Slice index 37; Head; Image width 240 mm, 1.00 mm slice spacing
FLAIR magnetic resonance.
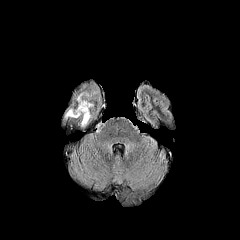
T1-weighted MR image.
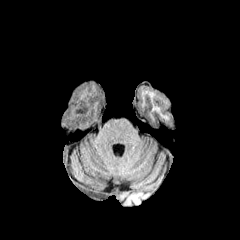
Post-contrast T1-weighted MR.
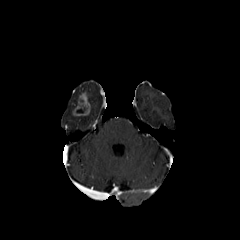
T2-weighted magnetic resonance.
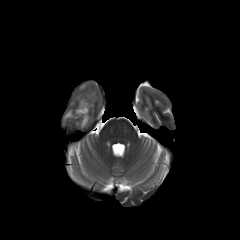
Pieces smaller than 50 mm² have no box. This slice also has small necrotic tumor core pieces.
{"enhancing_tumor": ["x1=73, y1=92, x2=90, y2=115"], "peritumoral_edema": ["x1=65, y1=108, x2=77, y2=119", "x1=81, y1=113, x2=91, y2=126", "x1=87, y1=90, x2=97, y2=100"]}